Axial view. Head.
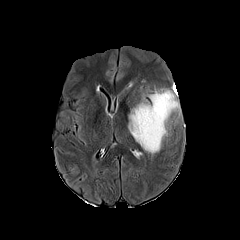
FLAIR magnetic resonance.
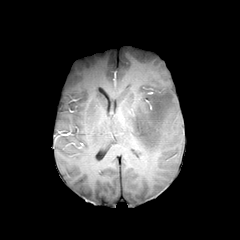
T1-weighted MR image.
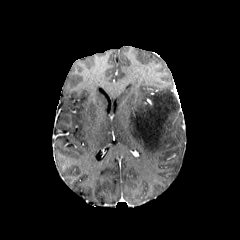
Post-contrast T1-weighted MR image of the same slice.
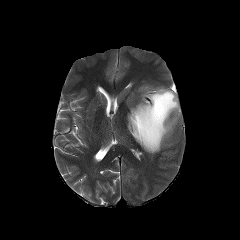
Same slice, T2-weighted MR.
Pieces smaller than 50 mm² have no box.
peritumoral_edema:
  - 128 89 179 153